Slice 77/155; Head
FLAIR magnetic resonance.
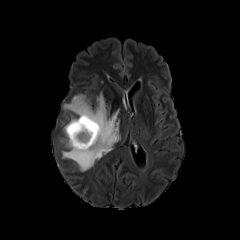
T1-weighted MR.
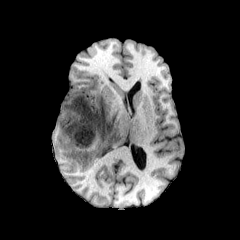
Post-contrast T1-weighted MRI.
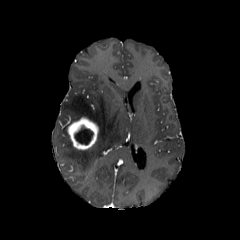
T2-weighted magnetic resonance.
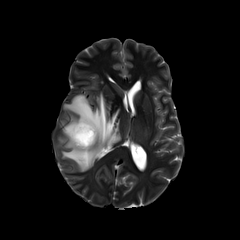
peritumoral_edema:
  - 61,93,120,171
enhancing_tumor:
  - 67,117,98,150
necrotic_tumor_core:
  - 74,127,93,144